240x240 px
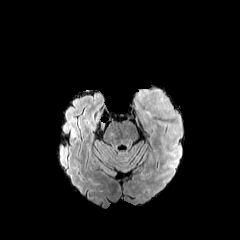
FLAIR magnetic resonance.
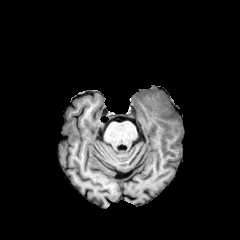
T1-weighted MR.
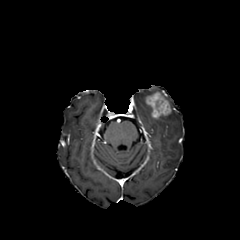
Post-contrast T1-weighted MR image of the same slice.
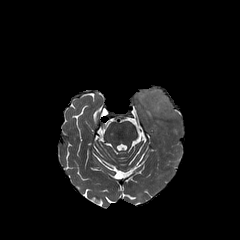
T2-weighted MR image of the same slice.
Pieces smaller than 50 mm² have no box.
enhancing_tumor:
  - left=145, top=91, right=171, bottom=118
peritumoral_edema:
  - left=136, top=88, right=161, bottom=118
  - left=160, top=96, right=180, bottom=134